FLAIR MRI.
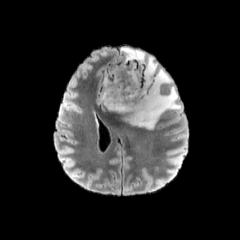
T1-weighted MRI.
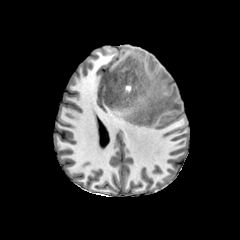
Post-contrast T1-weighted magnetic resonance.
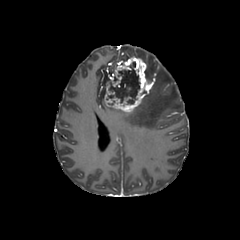
T2-weighted MR image.
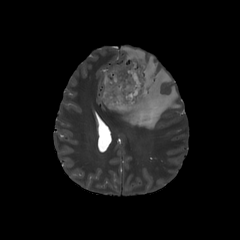
240x240.
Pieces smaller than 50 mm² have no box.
enhancing_tumor:
  - x1=103 y1=56 x2=154 y2=114
peritumoral_edema:
  - x1=121 y1=47 x2=180 y2=129
necrotic_tumor_core:
  - x1=108 y1=62 x2=139 y2=104